Slice index 112 | Brain
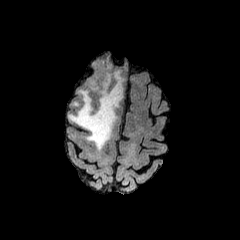
FLAIR MR image.
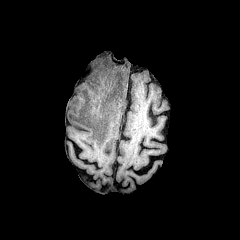
T1-weighted magnetic resonance.
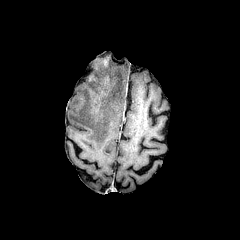
Same slice, post-contrast T1-weighted MR.
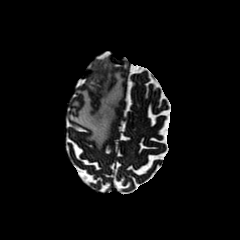
Same slice, T2-weighted magnetic resonance.
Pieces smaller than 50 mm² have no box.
peritumoral edema at 68:71:123:150, 94:60:111:69
enhancing tumor at 101:58:108:66